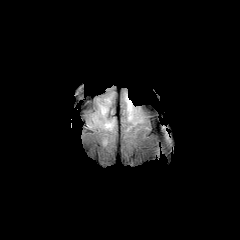
FLAIR MR image.
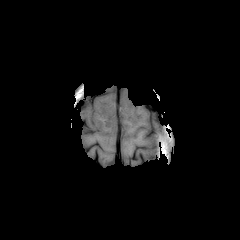
T1-weighted MRI of the same slice.
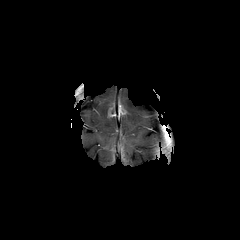
Post-contrast T1-weighted MRI of the same slice.
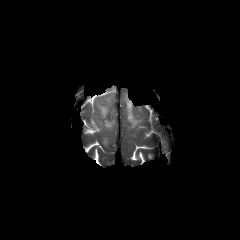
T2-weighted magnetic resonance.
Head. 240x240 px.
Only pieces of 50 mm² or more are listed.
Segmented structures:
- peritumoral edema: left=104, top=120, right=114, bottom=129; left=125, top=94, right=142, bottom=125; left=100, top=105, right=107, bottom=117